Slice 128/155, Image width 240 mm
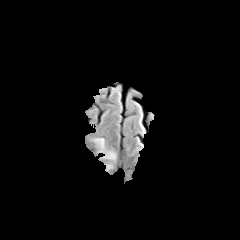
FLAIR MR image.
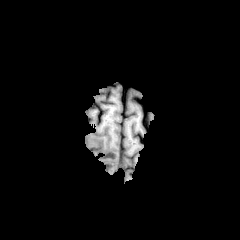
T1-weighted MR.
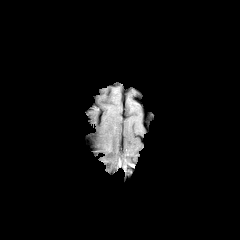
Post-contrast T1-weighted MRI.
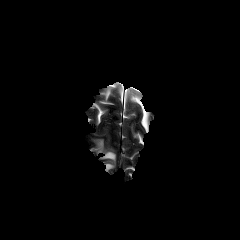
Same slice, T2-weighted MR image.
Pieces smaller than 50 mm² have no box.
<segmentation>
  <peritumoral_edema>l=93, t=139, r=115, b=159</peritumoral_edema>
</segmentation>